Slice index 103 | Axial view | Brain | Image size 240x240
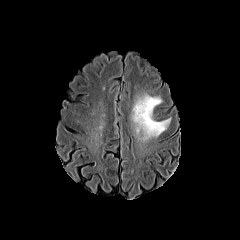
FLAIR MR image.
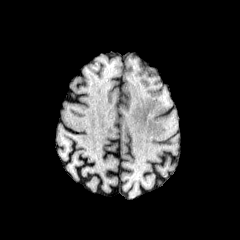
Same slice, T1-weighted magnetic resonance.
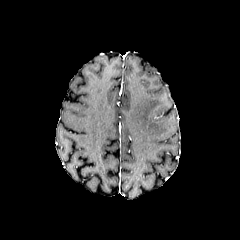
Post-contrast T1-weighted MRI of the same slice.
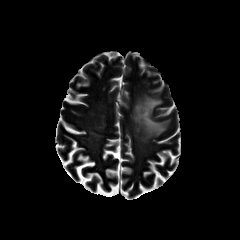
T2-weighted MRI.
The peritumoral edema is bounded by left=131, top=94, right=170, bottom=140.